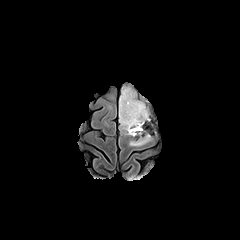
FLAIR MR.
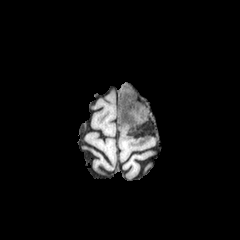
T1-weighted MRI.
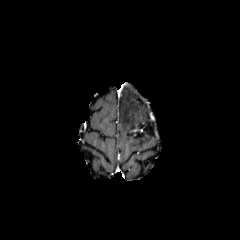
Same slice, post-contrast T1-weighted MR.
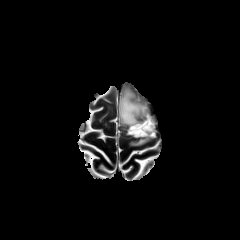
T2-weighted MR image.
Head
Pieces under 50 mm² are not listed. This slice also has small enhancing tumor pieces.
peritumoral edema: bounding box x1=119, y1=86, x2=149, y2=134; x1=129, y1=134, x2=151, y2=146
necrotic tumor core: bounding box x1=123, y1=98, x2=138, y2=112; x1=130, y1=123, x2=142, y2=130